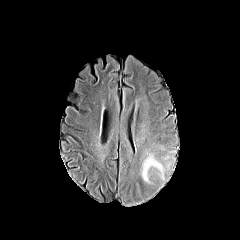
FLAIR MRI.
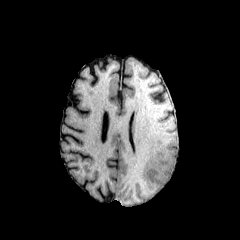
T1-weighted MR.
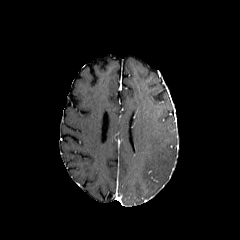
Post-contrast T1-weighted magnetic resonance.
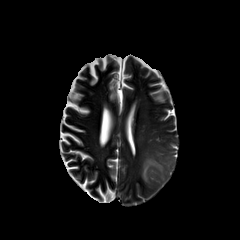
T2-weighted MR image.
Image size 240x240; Brain
The peritumoral edema lies within x1=142 y1=155 x2=164 y2=182.